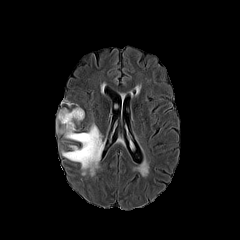
FLAIR MR image.
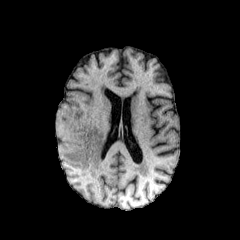
T1-weighted MRI.
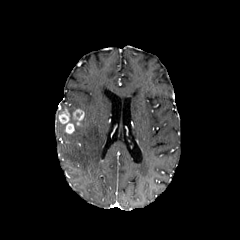
Same slice, post-contrast T1-weighted MRI.
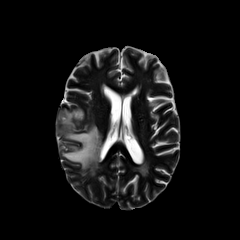
Same slice, T2-weighted MR.
Axial view. 240x240.
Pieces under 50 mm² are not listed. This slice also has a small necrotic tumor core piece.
peritumoral edema: l=56, t=116, r=104, b=175; l=68, t=107, r=80, b=130
enhancing tumor: l=72, t=109, r=84, b=125; l=58, t=109, r=74, b=133